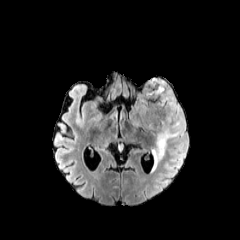
FLAIR MRI.
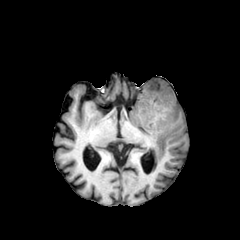
T1-weighted magnetic resonance of the same slice.
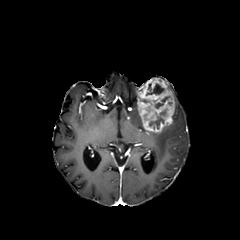
Post-contrast T1-weighted MR image.
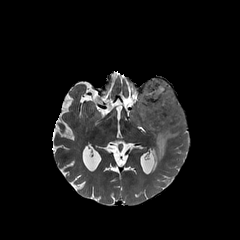
T2-weighted MR image.
240x240. Head.
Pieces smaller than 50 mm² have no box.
The 3 largest necrotic tumor core regions appear at box=[149, 110, 165, 128]; box=[155, 96, 169, 108]; box=[146, 84, 164, 95]. The enhancing tumor is bounded by box=[137, 78, 175, 132]. The largest peritumoral edema region is located at box=[151, 99, 185, 171].